Image width 240 mm, Brain, Axial view
FLAIR MRI.
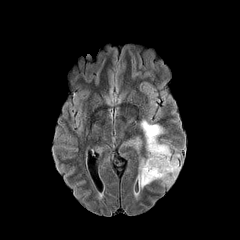
T1-weighted MR.
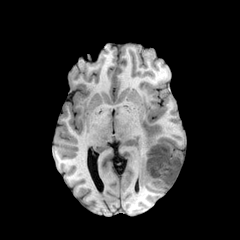
Post-contrast T1-weighted magnetic resonance.
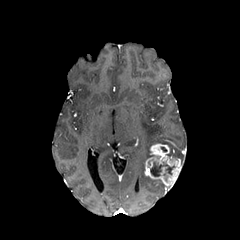
T2-weighted MR.
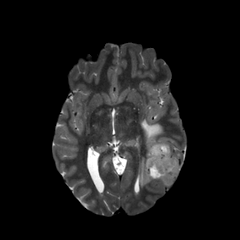
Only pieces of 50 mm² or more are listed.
Findings:
* peritumoral edema: l=141, t=120, r=163, b=157; l=137, t=158, r=155, b=188
* enhancing tumor: l=144, t=143, r=181, b=187
* necrotic tumor core: l=150, t=162, r=174, b=176